Brain; Axial view; 240x240
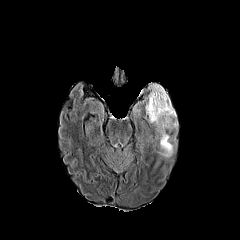
FLAIR MR image.
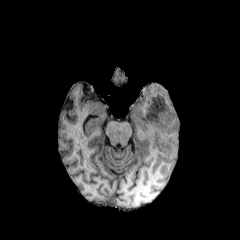
T1-weighted MR of the same slice.
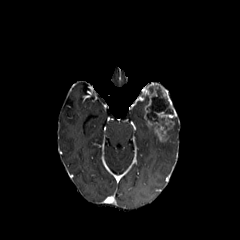
Same slice, post-contrast T1-weighted MR.
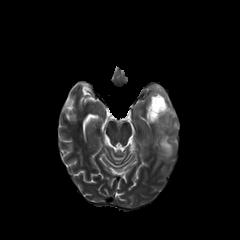
T2-weighted MR image.
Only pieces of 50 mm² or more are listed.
enhancing tumor: {"x1": 145, "y1": 83, "x2": 176, "y2": 141}
necrotic tumor core: {"x1": 147, "y1": 86, "x2": 173, "y2": 129}
peritumoral edema: {"x1": 158, "y1": 117, "x2": 178, "y2": 157}